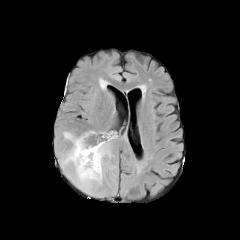
FLAIR MR image.
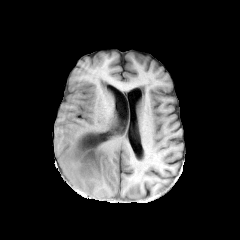
T1-weighted MR image of the same slice.
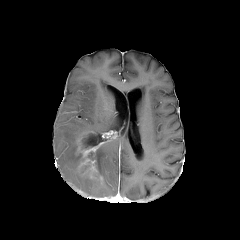
Post-contrast T1-weighted MR image of the same slice.
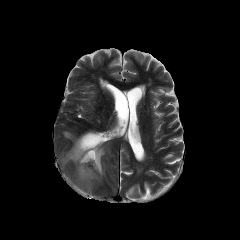
T2-weighted MRI of the same slice.
240x240
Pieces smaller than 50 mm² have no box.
<segmentation>
  <enhancing_tumor>rect(76, 132, 104, 178)</enhancing_tumor>
  <peritumoral_edema>rect(62, 132, 109, 191)</peritumoral_edema>
  <necrotic_tumor_core>rect(82, 134, 102, 148)</necrotic_tumor_core>
</segmentation>